Image width 240 mm, 1.00 mm slice spacing, Axial view, Image size 240x240
FLAIR MR image.
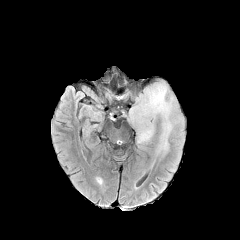
T1-weighted MR image.
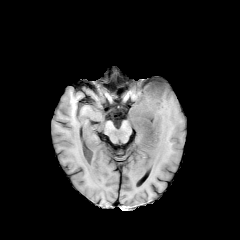
Post-contrast T1-weighted MRI.
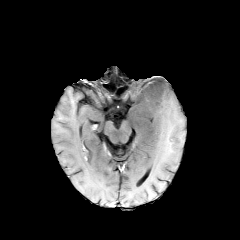
T2-weighted magnetic resonance.
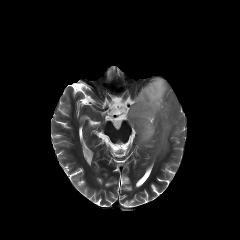
The peritumoral edema appears at [128,76,184,160].